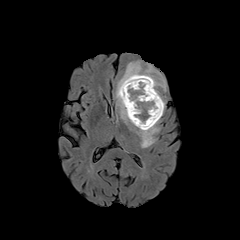
FLAIR MR image.
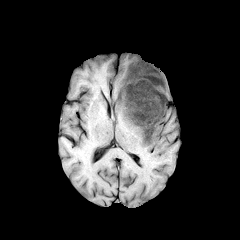
Same slice, T1-weighted MR.
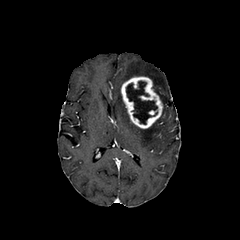
Post-contrast T1-weighted MR image.
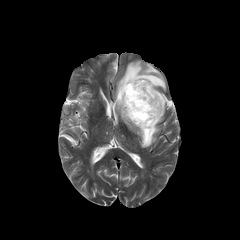
T2-weighted MRI.
Head | Axial slice
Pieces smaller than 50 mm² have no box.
peritumoral_edema:
  - [116,60,166,147]
enhancing_tumor:
  - [120,76,163,128]
necrotic_tumor_core:
  - [126,81,157,124]